240x240
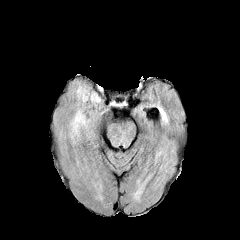
FLAIR magnetic resonance.
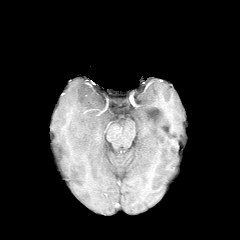
T1-weighted MR of the same slice.
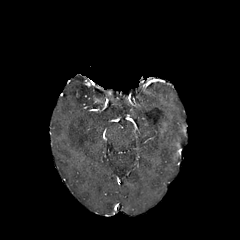
Post-contrast T1-weighted MR image.
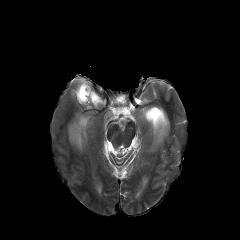
Same slice, T2-weighted MR.
<segmentation>
  <enhancing_tumor>(x1=93, y1=95, x2=102, y2=103)</enhancing_tumor>
  <peritumoral_edema>(x1=76, y1=86, x2=97, y2=102), (x1=70, y1=113, x2=87, y2=142)</peritumoral_edema>
</segmentation>